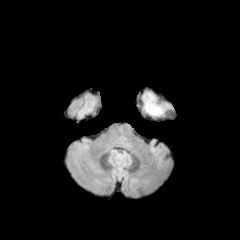
FLAIR MRI.
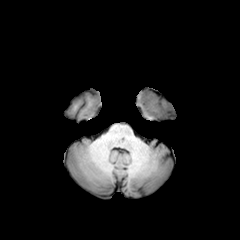
Same slice, T1-weighted MRI.
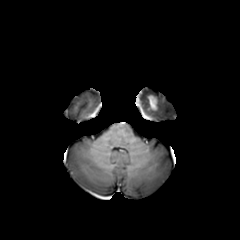
Post-contrast T1-weighted MRI.
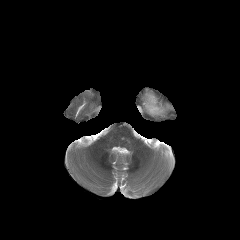
T2-weighted magnetic resonance.
Brain; Axial view
{"enhancing_tumor": ["[148, 95, 156, 109]"], "peritumoral_edema": ["[143, 93, 170, 115]"]}